Slice index 61; Image covers 240 mm x 240 mm; 240x240
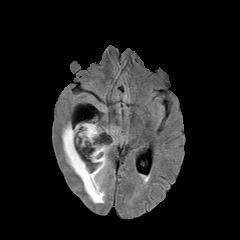
FLAIR MR.
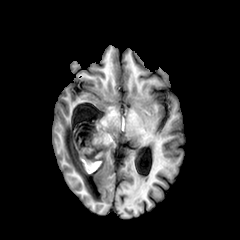
T1-weighted MR image of the same slice.
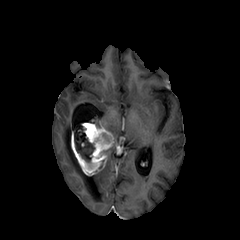
Post-contrast T1-weighted magnetic resonance of the same slice.
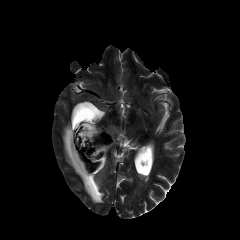
T2-weighted MR of the same slice.
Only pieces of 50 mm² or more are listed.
necrotic tumor core at 74 128 94 162, 102 133 111 142
enhancing tumor at 71 123 114 175
peritumoral edema at 105 126 119 144, 62 122 109 203